Image size 240x240.
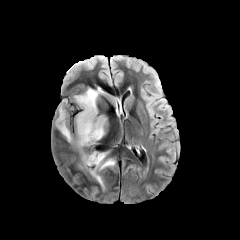
FLAIR MR image.
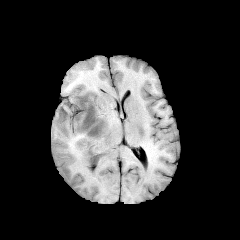
T1-weighted MRI.
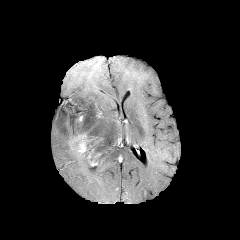
Post-contrast T1-weighted MR image.
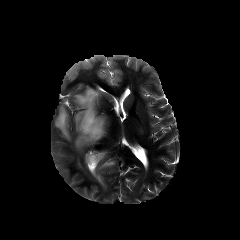
T2-weighted magnetic resonance of the same slice.
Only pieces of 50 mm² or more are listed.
The largest enhancing tumor region lies within box(79, 138, 85, 151). 2 peritumoral edema regions appear at box(55, 87, 107, 150); box(80, 151, 115, 183).